240x240 px | Axial plane | Head | Slice index 96
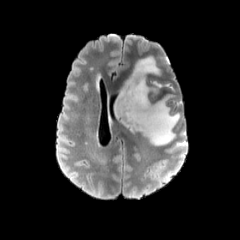
FLAIR magnetic resonance.
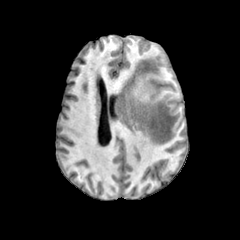
Same slice, T1-weighted MR.
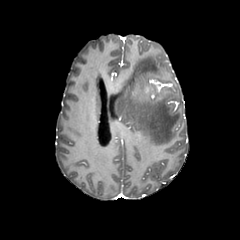
Same slice, post-contrast T1-weighted magnetic resonance.
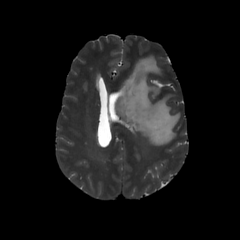
T2-weighted MR image.
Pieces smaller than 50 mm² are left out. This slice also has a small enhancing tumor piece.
peritumoral_edema:
  - x1=115, y1=56, x2=180, y2=145